Axial slice; Image size 240x240
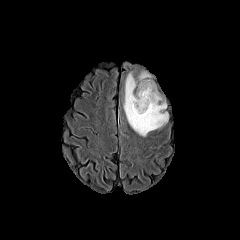
FLAIR MRI.
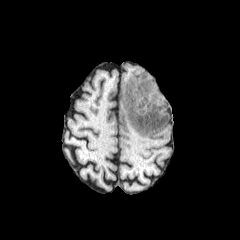
Same slice, T1-weighted MR image.
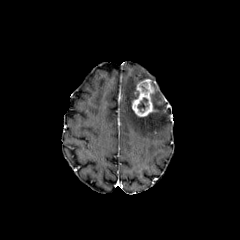
Same slice, post-contrast T1-weighted MR.
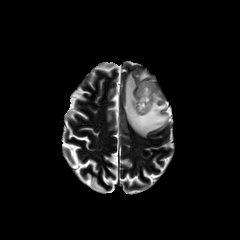
T2-weighted MR.
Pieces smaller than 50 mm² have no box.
2 peritumoral edema regions appear at l=123, t=73, r=168, b=136; l=139, t=71, r=152, b=80. The largest enhancing tumor region appears at l=132, t=79, r=156, b=116. The largest necrotic tumor core region is at l=137, t=98, r=147, b=112.